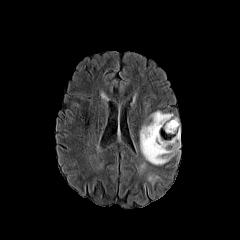
FLAIR MRI.
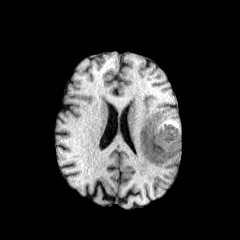
Same slice, T1-weighted magnetic resonance.
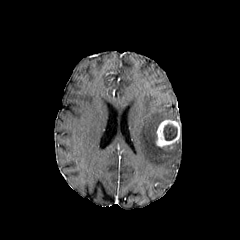
Post-contrast T1-weighted MR.
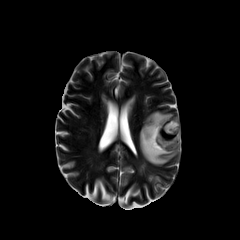
T2-weighted MRI.
240x240.
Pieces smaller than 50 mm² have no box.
The enhancing tumor appears at (x1=156, y1=120, x2=180, y2=147). The largest peritumoral edema region lies within (x1=140, y1=111, x2=180, y2=165). The necrotic tumor core is bounded by (x1=163, y1=124, x2=177, y2=140).